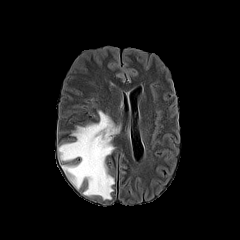
FLAIR magnetic resonance.
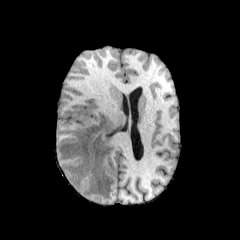
T1-weighted MRI.
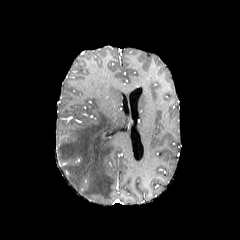
Post-contrast T1-weighted magnetic resonance of the same slice.
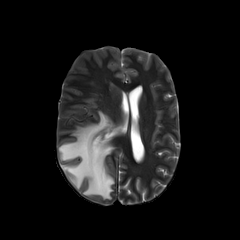
T2-weighted MRI.
Brain
Segmented structures:
* peritumoral edema: box=[58, 110, 122, 199]